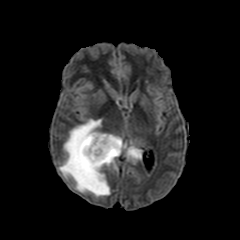
FLAIR MR.
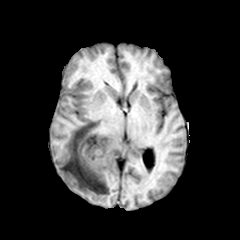
Same slice, T1-weighted MRI.
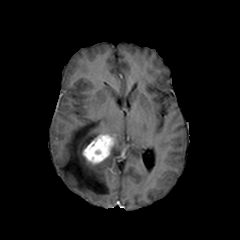
Post-contrast T1-weighted MR of the same slice.
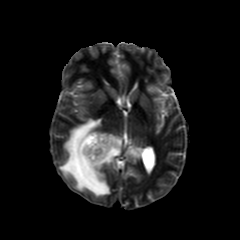
Same slice, T2-weighted MR image.
Brain; Axial slice
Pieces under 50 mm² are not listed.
The enhancing tumor appears at [x1=82, y1=134, x2=116, y2=165]. The largest peritumoral edema region is located at [x1=59, y1=119, x2=142, y2=197].